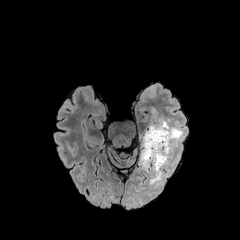
FLAIR MR.
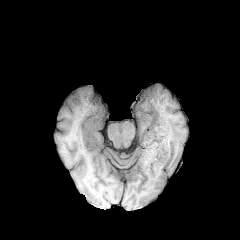
Same slice, T1-weighted MR image.
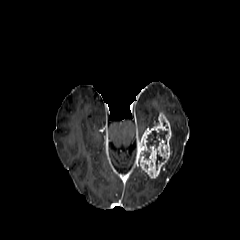
Post-contrast T1-weighted MR.
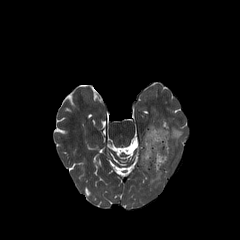
T2-weighted MR.
Head
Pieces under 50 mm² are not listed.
The enhancing tumor appears at x1=139, y1=114, x2=171, y2=178. The 2 largest peritumoral edema regions are located at x1=149, y1=169, x2=163, y2=185; x1=163, y1=118, x2=183, y2=166. The 2 largest necrotic tumor core regions are located at x1=156, y1=151, x2=165, y2=169; x1=146, y1=129, x2=167, y2=150.